Image width 240 mm, 1.00 mm slice spacing; Axial slice
FLAIR magnetic resonance.
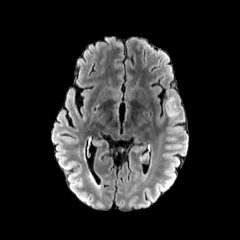
T1-weighted MRI.
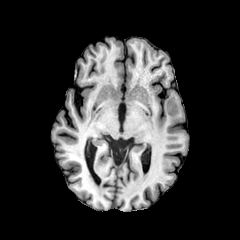
Post-contrast T1-weighted MR.
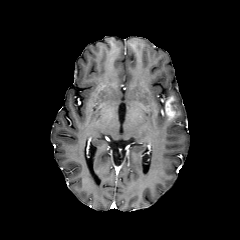
T2-weighted magnetic resonance.
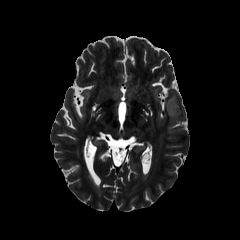
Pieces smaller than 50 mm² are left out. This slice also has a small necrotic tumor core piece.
- peritumoral edema: 168, 93, 181, 114
- enhancing tumor: 164, 95, 178, 119